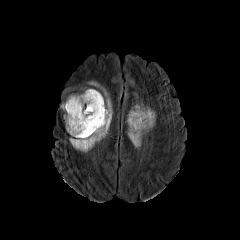
FLAIR MRI.
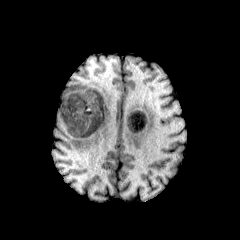
Same slice, T1-weighted magnetic resonance.
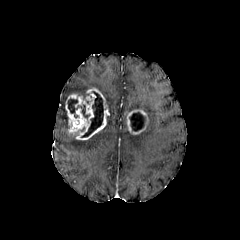
Post-contrast T1-weighted magnetic resonance.
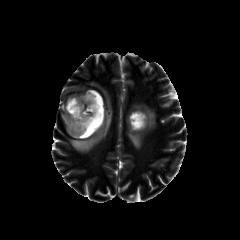
T2-weighted MR of the same slice.
Axial view
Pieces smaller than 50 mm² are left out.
The 3 largest peritumoral edema regions appear at [69,81,112,152], [61,103,67,129], [127,104,155,148]. The 3 largest necrotic tumor core regions are located at [68,99,77,113], [81,91,103,137], [130,112,144,131]. 2 enhancing tumor regions appear at [126,109,149,134], [65,87,109,140].